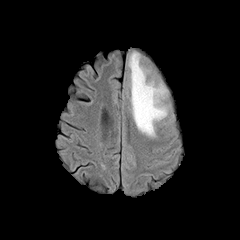
FLAIR MRI.
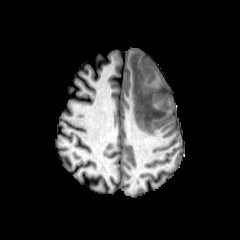
T1-weighted MR image.
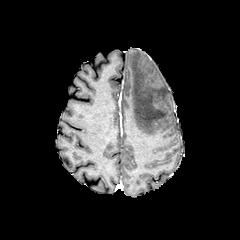
Post-contrast T1-weighted MR image of the same slice.
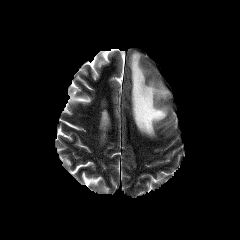
T2-weighted MRI of the same slice.
Image size 240x240; Brain
{"peritumoral_edema": ["(128,52,168,136)"]}